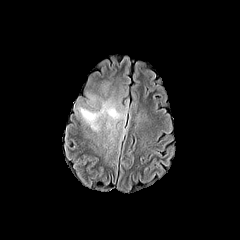
FLAIR MR.
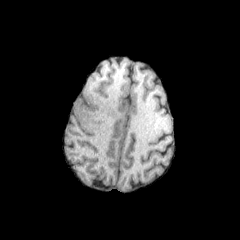
T1-weighted magnetic resonance.
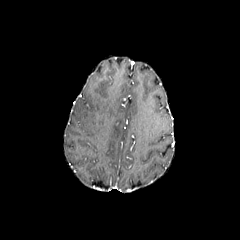
Post-contrast T1-weighted MRI.
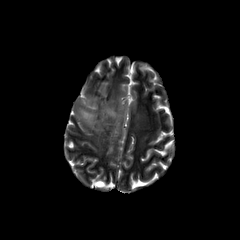
T2-weighted MR of the same slice.
Head.
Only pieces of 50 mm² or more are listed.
peritumoral edema: l=76, t=95, r=127, b=132